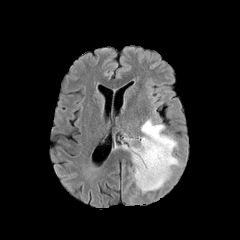
FLAIR MRI.
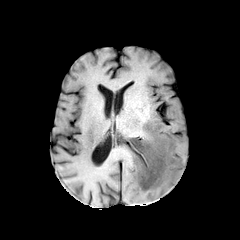
T1-weighted MRI.
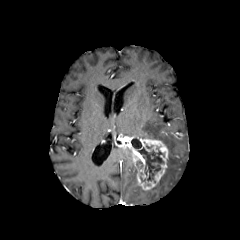
Post-contrast T1-weighted MR of the same slice.
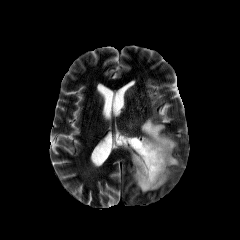
T2-weighted MRI.
Axial view
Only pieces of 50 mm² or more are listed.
The largest enhancing tumor region appears at bbox(120, 136, 168, 190). The 2 largest peritumoral edema regions are bounded by bbox(139, 118, 179, 190); bbox(133, 166, 147, 193). The 2 largest necrotic tumor core regions appear at bbox(138, 147, 163, 180); bbox(131, 138, 141, 148).